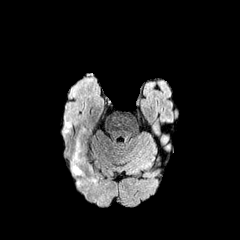
FLAIR MR.
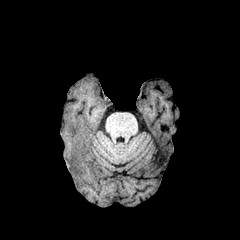
T1-weighted MR.
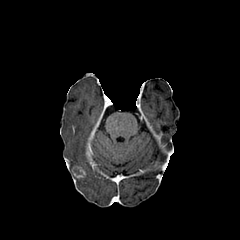
Post-contrast T1-weighted MRI.
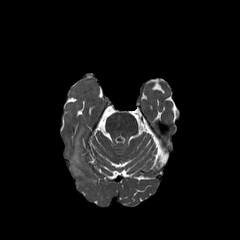
T2-weighted MR image.
Axial plane
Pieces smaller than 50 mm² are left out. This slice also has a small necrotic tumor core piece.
{
  "enhancing_tumor": [
    "(72,165,85,178)"
  ],
  "peritumoral_edema": [
    "(70,141,82,174)"
  ]
}